Brain. Slice 59 of 155.
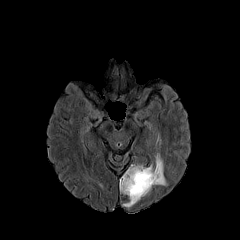
FLAIR MR image.
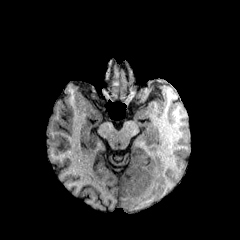
T1-weighted MR.
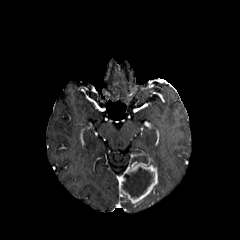
Post-contrast T1-weighted magnetic resonance.
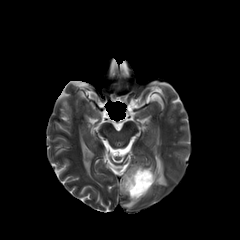
T2-weighted MRI.
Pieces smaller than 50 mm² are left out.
peritumoral edema = bbox(154, 153, 167, 185); bbox(123, 200, 135, 208)
necrotic tumor core = bbox(122, 167, 153, 197)
enhancing tumor = bbox(119, 162, 158, 203)